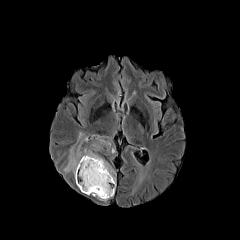
FLAIR magnetic resonance.
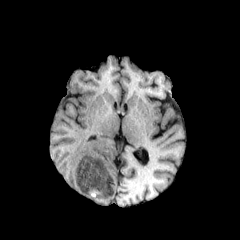
T1-weighted MR of the same slice.
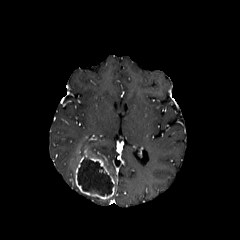
Post-contrast T1-weighted MR.
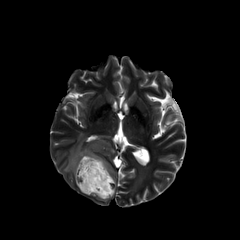
T2-weighted MR image of the same slice.
Axial plane.
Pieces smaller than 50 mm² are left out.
necrotic tumor core = (x1=77, y1=158, x2=113, y2=196)
peritumoral edema = (x1=63, y1=132, x2=116, y2=175), (x1=87, y1=147, x2=116, y2=186)
enhancing tumor = (x1=75, y1=148, x2=115, y2=199)